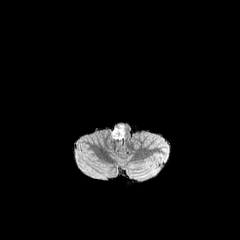
FLAIR magnetic resonance.
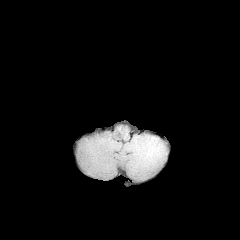
T1-weighted MRI of the same slice.
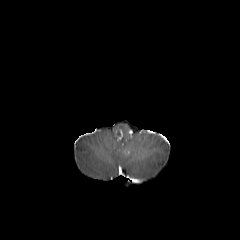
Post-contrast T1-weighted MR image of the same slice.
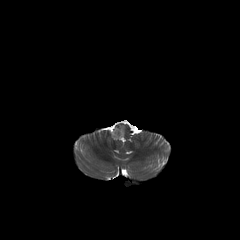
T2-weighted MR image.
Head
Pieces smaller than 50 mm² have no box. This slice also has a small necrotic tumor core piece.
enhancing tumor: bounding box [114,128,122,139]
peritumoral edema: bounding box [111,123,125,139]